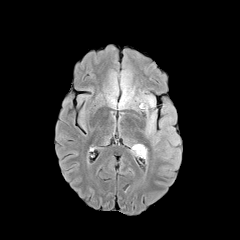
FLAIR MR.
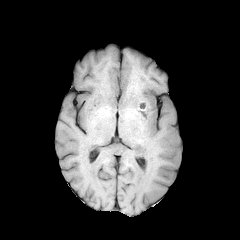
T1-weighted MRI.
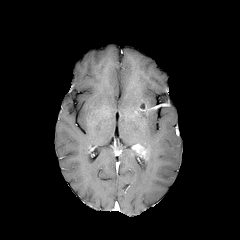
Post-contrast T1-weighted magnetic resonance of the same slice.
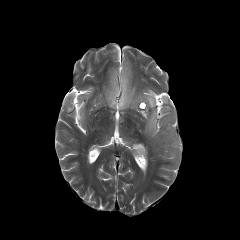
T2-weighted MRI of the same slice.
Axial view, 240x240
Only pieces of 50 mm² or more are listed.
Findings:
- peritumoral edema: <box>136,95,155,114</box>, <box>121,89,137,109</box>, <box>146,110,155,135</box>
- enhancing tumor: <box>132,144,147,157</box>